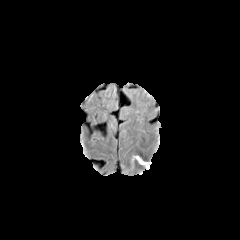
FLAIR MR image.
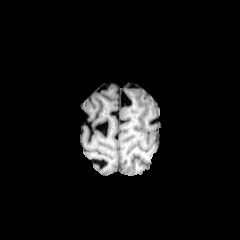
T1-weighted MR image.
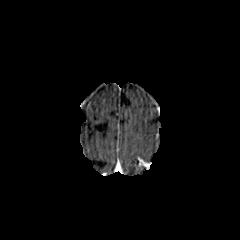
Post-contrast T1-weighted MR.
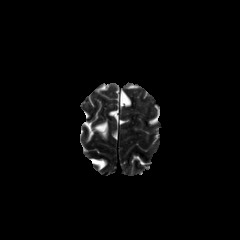
T2-weighted MRI.
240x240 px. Axial view. Head.
enhancing_tumor:
  - 138,158,150,168